240x240 px, Axial view
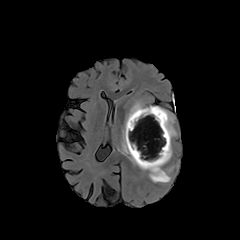
FLAIR magnetic resonance.
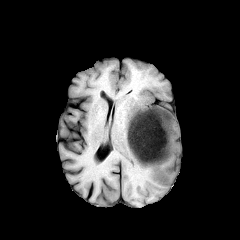
T1-weighted MR of the same slice.
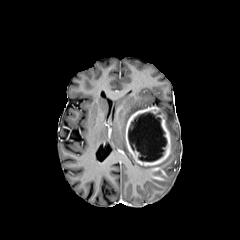
Post-contrast T1-weighted MR image.
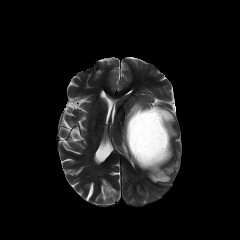
Same slice, T2-weighted magnetic resonance.
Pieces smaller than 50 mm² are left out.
The largest necrotic tumor core region is bounded by x1=128, y1=112, x2=166, y2=161. The enhancing tumor lies within x1=125, y1=106, x2=171, y2=180. 3 peritumoral edema regions are located at x1=159, y1=107, x2=176, y2=148; x1=121, y1=101, x2=172, y2=182; x1=158, y1=149, x2=172, y2=168.